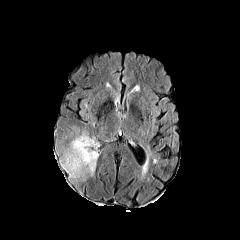
FLAIR magnetic resonance.
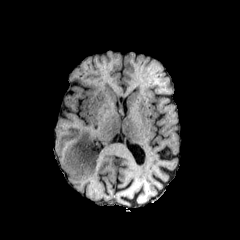
T1-weighted MRI.
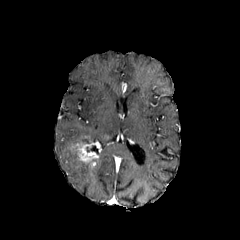
Post-contrast T1-weighted MRI.
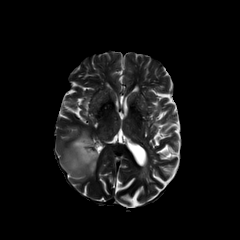
T2-weighted MR image of the same slice.
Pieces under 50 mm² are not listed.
{
  "enhancing_tumor": [
    {"x1": 76, "y1": 142, "x2": 98, "y2": 164}
  ],
  "necrotic_tumor_core": [
    {"x1": 85, "y1": 144, "x2": 96, "y2": 152}
  ],
  "peritumoral_edema": [
    {"x1": 61, "y1": 132, "x2": 97, "y2": 180}
  ]
}